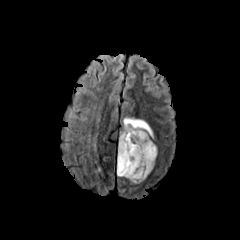
FLAIR MRI.
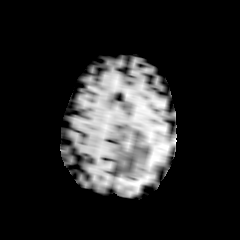
T1-weighted magnetic resonance.
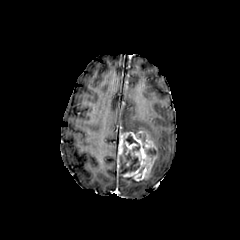
Post-contrast T1-weighted MR image.
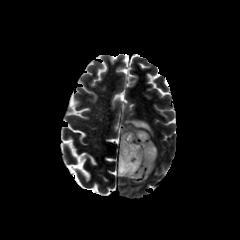
T2-weighted MR image.
240x240. Head.
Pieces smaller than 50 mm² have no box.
necrotic tumor core: [147,148,155,160], [124,135,139,151], [119,145,139,173]
enhancing tumor: [117,131,157,180]
peritumoral edema: [122,118,153,137]